Brain
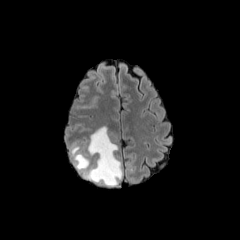
FLAIR MR.
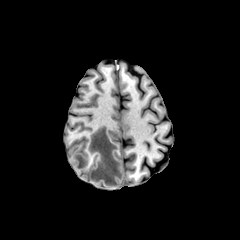
T1-weighted MRI.
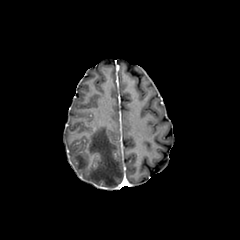
Same slice, post-contrast T1-weighted magnetic resonance.
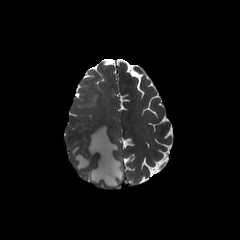
T2-weighted MR image.
The peritumoral edema is bounded by [71,126,122,186].